Brain; Image size 240x240
FLAIR MR.
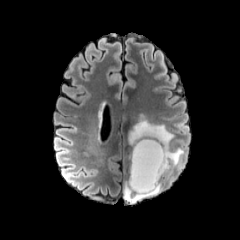
T1-weighted magnetic resonance.
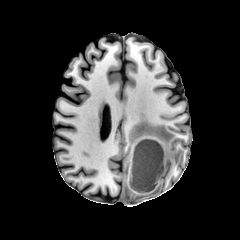
Post-contrast T1-weighted MR.
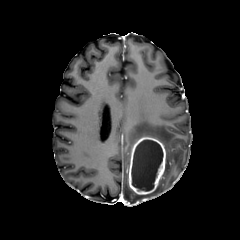
T2-weighted MRI.
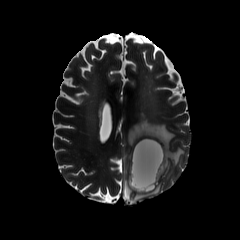
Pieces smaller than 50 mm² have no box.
enhancing_tumor:
  - box(128, 137, 166, 195)
peritumoral_edema:
  - box(128, 120, 184, 177)
  - box(123, 180, 162, 203)
necrotic_tumor_core:
  - box(131, 140, 163, 191)